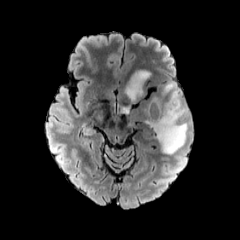
FLAIR MR.
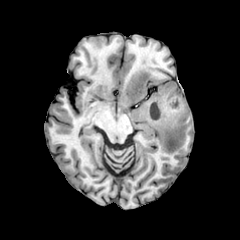
T1-weighted MR image.
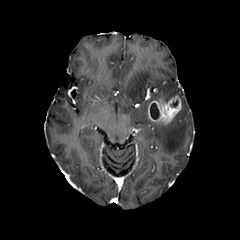
Post-contrast T1-weighted MR of the same slice.
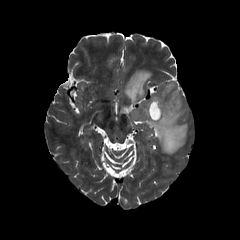
T2-weighted magnetic resonance of the same slice.
Head. 240x240.
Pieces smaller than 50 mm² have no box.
necrotic tumor core: x1=150, y1=103, x2=159, y2=119
peritumoral edema: x1=160, y1=82, x2=181, y2=98; x1=145, y1=105, x2=187, y2=154; x1=125, y1=70, x2=150, y2=102
enhancing tumor: x1=147, y1=95, x2=181, y2=124